FLAIR MR.
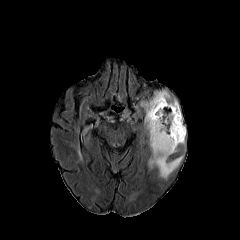
T1-weighted MR.
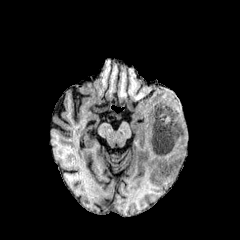
Post-contrast T1-weighted MR image.
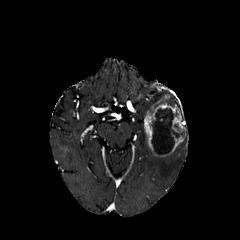
T2-weighted MR image.
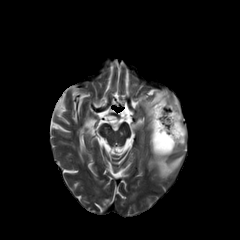
Axial view
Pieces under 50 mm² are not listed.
peritumoral edema = bbox(167, 95, 179, 107); bbox(148, 154, 183, 179); bbox(140, 90, 169, 112)
enhancing tumor = bbox(144, 95, 186, 157)
necrotic tumor core = bbox(151, 107, 184, 154)